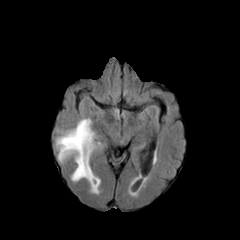
FLAIR magnetic resonance.
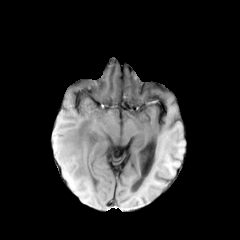
T1-weighted magnetic resonance of the same slice.
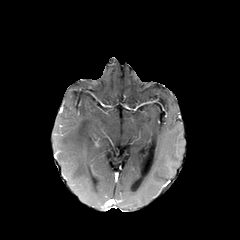
Post-contrast T1-weighted MRI of the same slice.
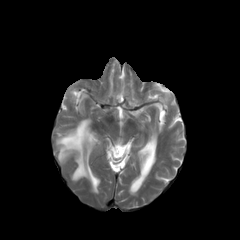
T2-weighted MR.
peritumoral edema: 56 118 100 193